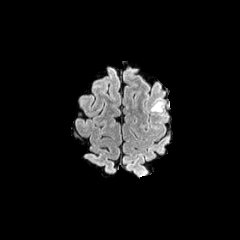
FLAIR MRI.
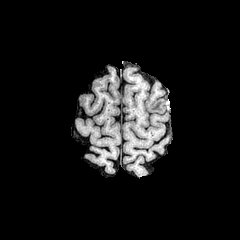
T1-weighted MR image.
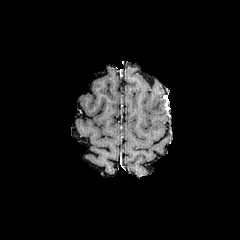
Post-contrast T1-weighted MR image.
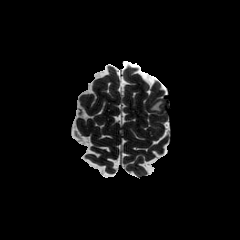
T2-weighted MR image.
Axial view | Head
peritumoral edema = 151 98 163 111